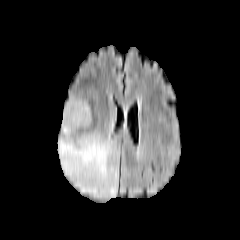
FLAIR MR.
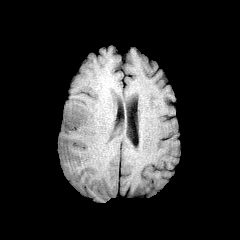
T1-weighted MR.
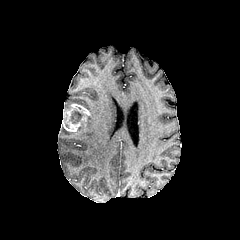
Post-contrast T1-weighted MR.
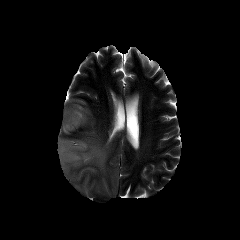
T2-weighted MR.
240x240
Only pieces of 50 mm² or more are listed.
3 peritumoral edema regions are bounded by [57,118,117,198], [77,116,90,131], [63,98,89,111]. The largest necrotic tumor core region is bounded by [69,110,83,123]. The enhancing tumor appears at [62,103,90,131].